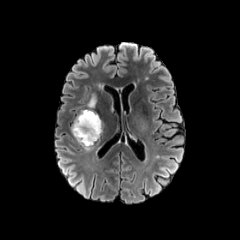
FLAIR MR.
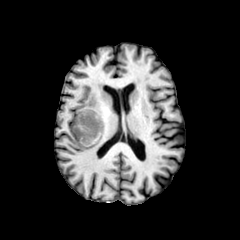
Same slice, T1-weighted MRI.
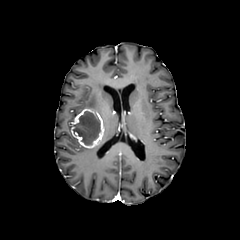
Post-contrast T1-weighted MR image.
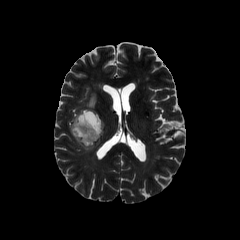
T2-weighted MR of the same slice.
Axial view
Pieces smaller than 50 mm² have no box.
The enhancing tumor lies within bbox(71, 109, 103, 148). The necrotic tumor core is bounded by bbox(73, 111, 100, 145). The largest peritumoral edema region is located at bbox(87, 94, 96, 109).